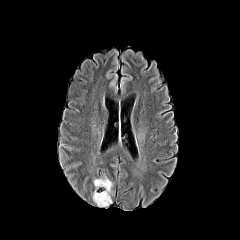
FLAIR magnetic resonance.
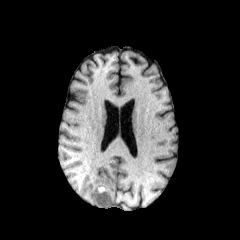
T1-weighted MR image of the same slice.
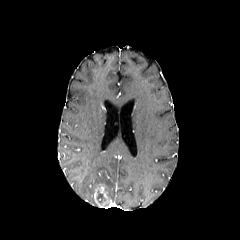
Same slice, post-contrast T1-weighted MRI.
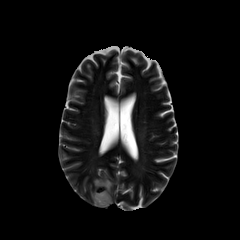
T2-weighted MR.
Head.
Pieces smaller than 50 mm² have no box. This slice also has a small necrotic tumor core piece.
enhancing tumor: (93,183,111,207) | peritumoral edema: (94,176,112,197)